FLAIR magnetic resonance.
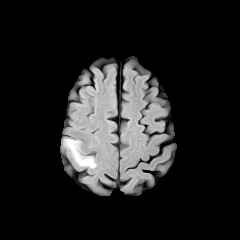
T1-weighted MR.
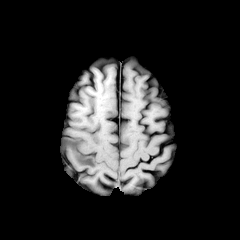
Post-contrast T1-weighted MR.
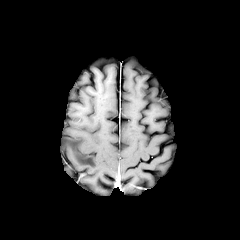
T2-weighted MR.
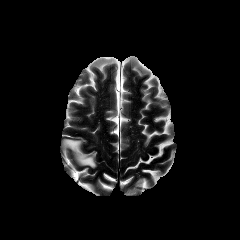
Brain. Axial view. 240x240.
peritumoral edema: x1=63, y1=139, x2=96, y2=168